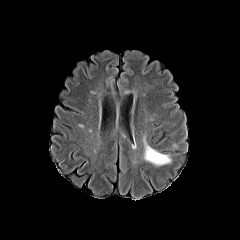
FLAIR magnetic resonance.
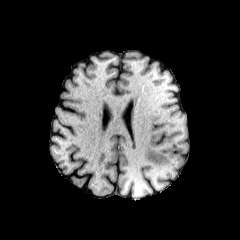
T1-weighted magnetic resonance.
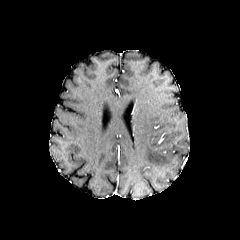
Post-contrast T1-weighted MR image.
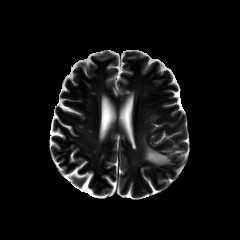
T2-weighted MRI.
Brain.
peritumoral edema — [142, 135, 172, 166]